Slice 120 of 155; Head
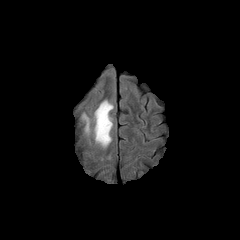
FLAIR MR image.
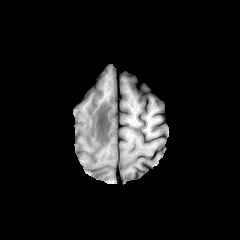
T1-weighted MR image.
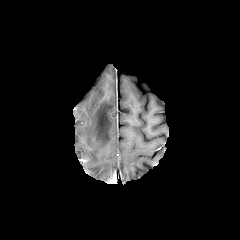
Same slice, post-contrast T1-weighted MR.
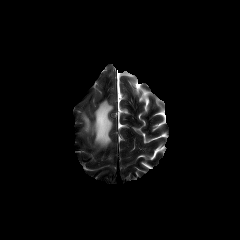
T2-weighted magnetic resonance.
peritumoral_edema:
  - [82,114,90,132]
  - [94,100,113,147]